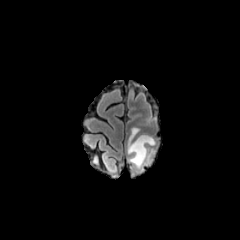
FLAIR MR image.
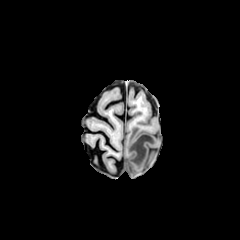
T1-weighted MR.
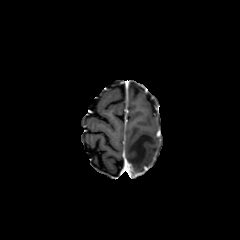
Post-contrast T1-weighted MR.
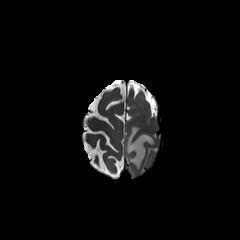
T2-weighted MRI of the same slice.
Axial slice, 240x240 px
peritumoral edema at 127:127:155:171